Axial view | 240x240 px | Brain
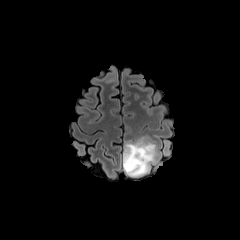
FLAIR MRI.
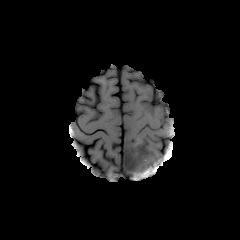
T1-weighted MR.
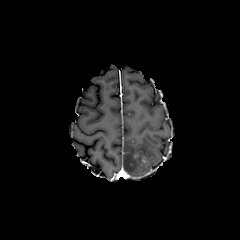
Post-contrast T1-weighted MR.
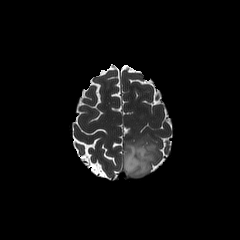
T2-weighted magnetic resonance.
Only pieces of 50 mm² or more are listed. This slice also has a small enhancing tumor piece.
The peritumoral edema appears at 122, 137, 161, 177.